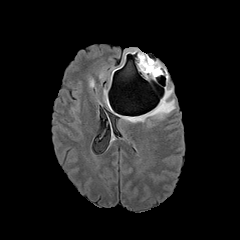
FLAIR MR image.
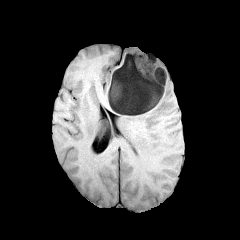
Same slice, T1-weighted MRI.
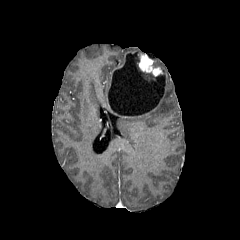
Post-contrast T1-weighted MRI.
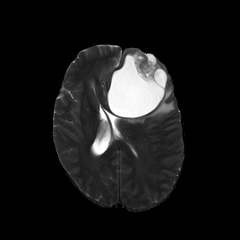
Same slice, T2-weighted magnetic resonance.
Axial plane. 240x240 px.
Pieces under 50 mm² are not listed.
peritumoral edema: bounding box 147,88,174,118; 129,115,144,121
enhancing tumor: bounding box 139,54,160,76; 110,55,125,85
necrotic tumor core: bounding box 108,53,166,117